FLAIR MR image.
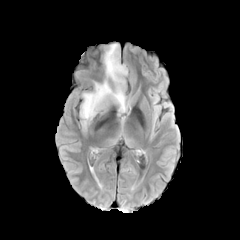
T1-weighted MR image.
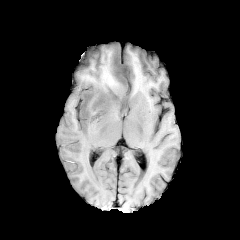
Post-contrast T1-weighted MR image.
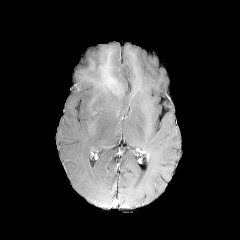
T2-weighted magnetic resonance.
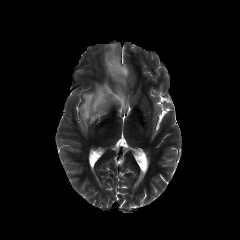
Brain | Axial slice
The peritumoral edema is at left=80, top=42, right=128, bottom=136.